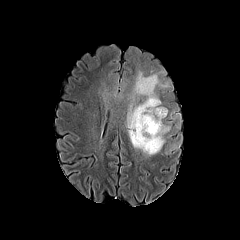
FLAIR MR.
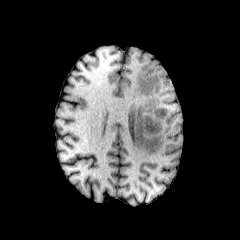
T1-weighted magnetic resonance.
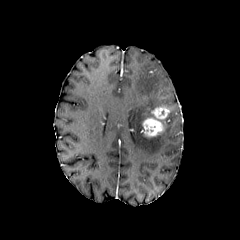
Post-contrast T1-weighted MR.
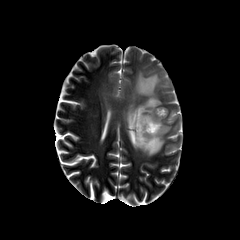
T2-weighted MR of the same slice.
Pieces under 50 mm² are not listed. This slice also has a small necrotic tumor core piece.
<segmentation>
  <peritumoral_edema>bbox(127, 71, 170, 156)</peritumoral_edema>
  <enhancing_tumor>bbox(141, 107, 168, 137)</enhancing_tumor>
</segmentation>